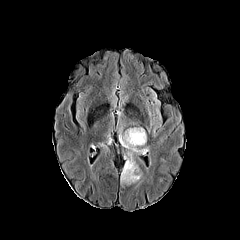
FLAIR MR.
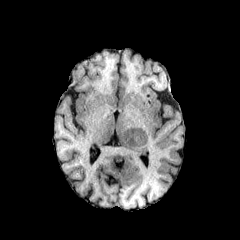
Same slice, T1-weighted MR.
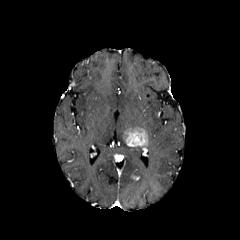
Same slice, post-contrast T1-weighted MR image.
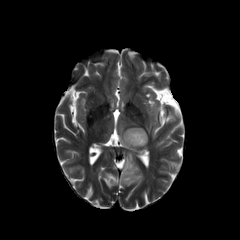
T2-weighted magnetic resonance of the same slice.
Axial plane
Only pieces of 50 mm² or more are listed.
Findings:
- peritumoral edema: (x1=119, y1=133, x2=148, y2=187)
- enhancing tumor: (x1=123, y1=128, x2=147, y2=146)